FLAIR MR image.
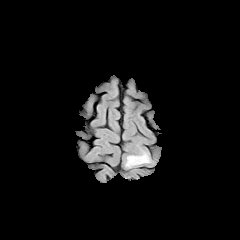
T1-weighted MR image.
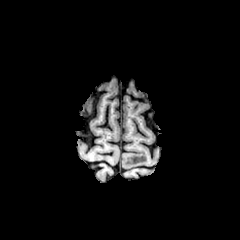
Post-contrast T1-weighted MR.
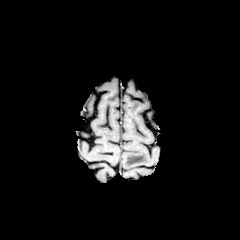
T2-weighted magnetic resonance.
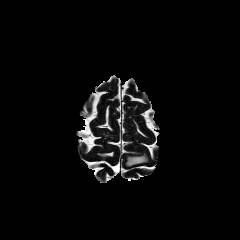
Head.
peritumoral edema at (left=125, top=153, right=149, bottom=166)